FLAIR MRI.
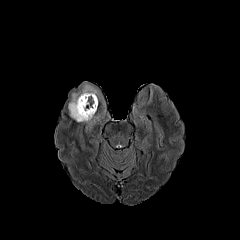
T1-weighted magnetic resonance.
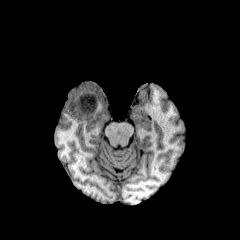
Post-contrast T1-weighted MRI.
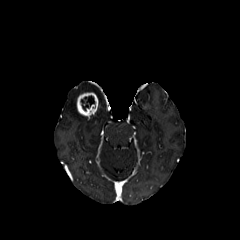
T2-weighted MR.
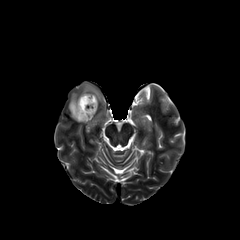
240x240; Axial plane; Head
peritumoral edema: bbox(68, 82, 105, 132)
enhancing tumor: bbox(76, 92, 98, 117)
necrotic tumor core: bbox(81, 96, 94, 110)